240x240. Brain.
FLAIR MR.
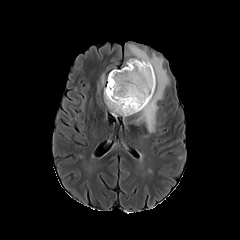
T1-weighted MR image.
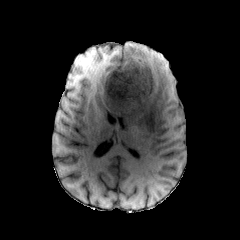
Post-contrast T1-weighted magnetic resonance.
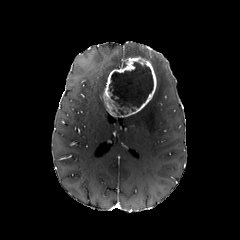
T2-weighted MR.
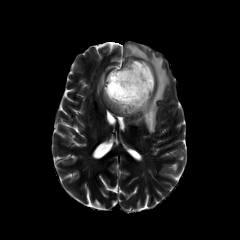
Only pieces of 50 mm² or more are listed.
<segmentation>
  <peritumoral_edema>[x1=130, y1=47, x2=169, y2=133]</peritumoral_edema>
  <enhancing_tumor>[x1=103, y1=57, x2=156, y2=117]</enhancing_tumor>
  <necrotic_tumor_core>[x1=108, y1=62, x2=153, y2=114]</necrotic_tumor_core>
</segmentation>